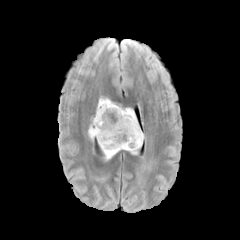
FLAIR MRI.
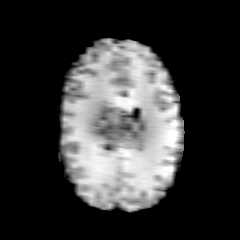
T1-weighted MR image.
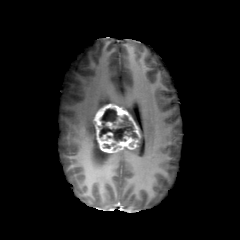
Same slice, post-contrast T1-weighted MR image.
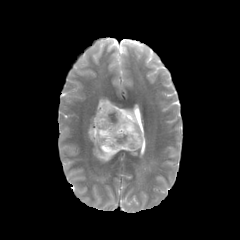
T2-weighted MRI.
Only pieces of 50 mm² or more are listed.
The 5 largest peritumoral edema regions appear at (124,108,138,125), (97,97,116,110), (101,152,117,161), (88,116,95,140), (123,130,144,154). The largest enhancing tumor region is at (93,104,140,152). The largest necrotic tumor core region is at (99,109,136,140).